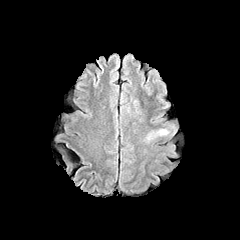
FLAIR MR.
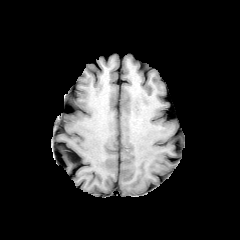
T1-weighted MRI of the same slice.
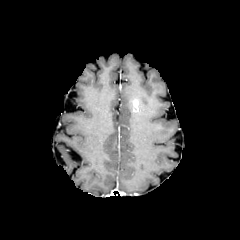
Same slice, post-contrast T1-weighted MR image.
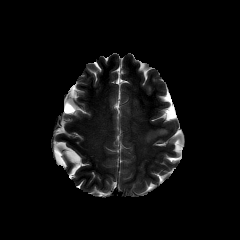
T2-weighted MR.
Brain
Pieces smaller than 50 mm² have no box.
peritumoral edema: [147,130,166,140]
enhancing tumor: [132,99,138,111]